FLAIR magnetic resonance.
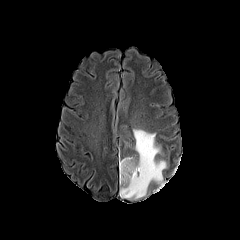
T1-weighted MR image.
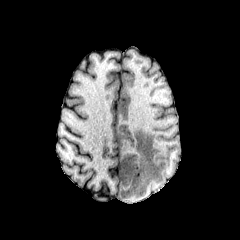
Post-contrast T1-weighted MR image.
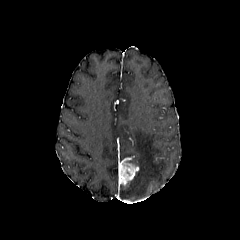
T2-weighted MRI.
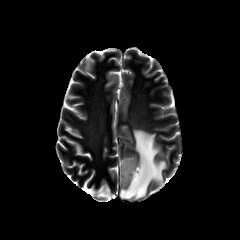
peritumoral edema: bounding box 120 129 166 198
enhancing tumor: bounding box 119 157 139 185